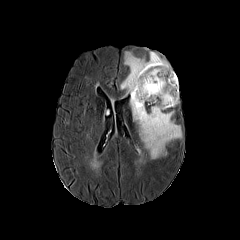
FLAIR MR image.
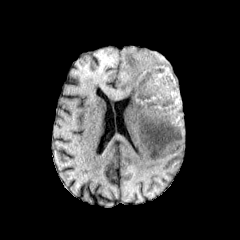
T1-weighted MRI.
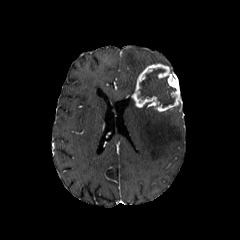
Post-contrast T1-weighted MR of the same slice.
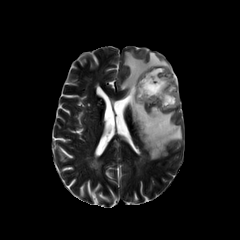
Same slice, T2-weighted MR.
Axial plane
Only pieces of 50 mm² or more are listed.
{
  "necrotic_tumor_core": [
    "box(139, 68, 175, 107)"
  ],
  "peritumoral_edema": [
    "box(120, 51, 172, 95)",
    "box(130, 98, 182, 159)"
  ],
  "enhancing_tumor": [
    "box(131, 63, 180, 111)"
  ]
}